FLAIR MRI.
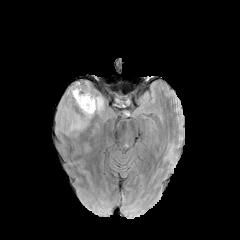
T1-weighted MR.
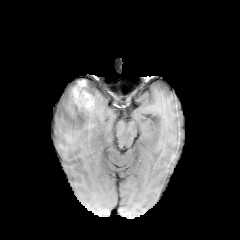
Post-contrast T1-weighted MR image.
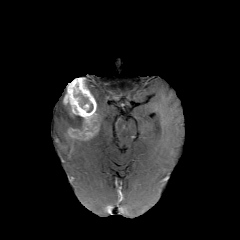
T2-weighted MR.
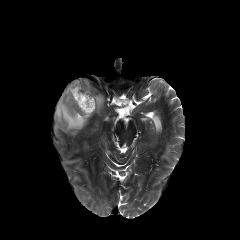
Axial slice
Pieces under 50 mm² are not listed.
<segmentation>
  <enhancing_tumor>63 80 99 138</enhancing_tumor>
  <necrotic_tumor_core>82 119 94 136, 74 93 93 112</necrotic_tumor_core>
  <peritumoral_edema>94 96 103 113, 56 100 83 133</peritumoral_edema>
</segmentation>